FLAIR MRI.
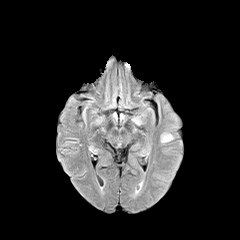
T1-weighted magnetic resonance.
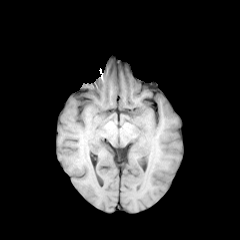
Post-contrast T1-weighted MR.
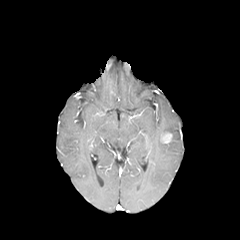
T2-weighted MR image.
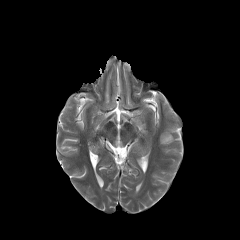
Brain
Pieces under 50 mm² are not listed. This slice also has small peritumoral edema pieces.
enhancing tumor = x1=160 y1=133 x2=172 y2=143